FLAIR magnetic resonance.
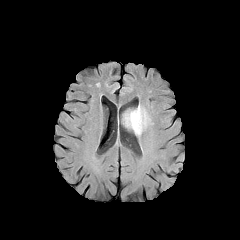
T1-weighted MR image.
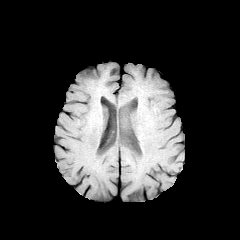
Post-contrast T1-weighted magnetic resonance.
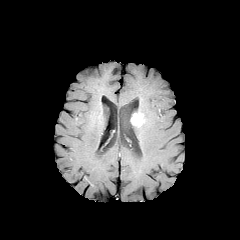
T2-weighted MR image.
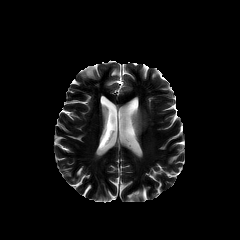
Head; Axial slice
<segmentation>
  <enhancing_tumor>131,113,143,126</enhancing_tumor>
  <peritumoral_edema>123,106,146,134</peritumoral_edema>
</segmentation>